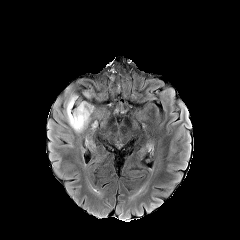
FLAIR MRI.
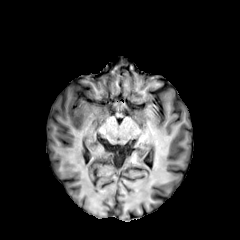
T1-weighted magnetic resonance of the same slice.
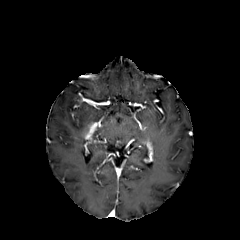
Same slice, post-contrast T1-weighted magnetic resonance.
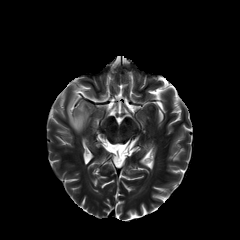
Same slice, T2-weighted MR image.
peritumoral edema — (x1=66, y1=96, x2=93, y2=132)